FLAIR MR.
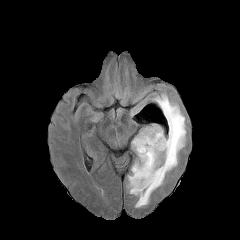
T1-weighted MR.
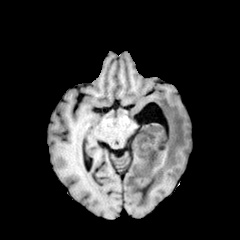
Post-contrast T1-weighted MR image.
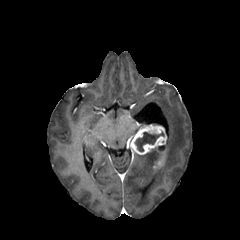
T2-weighted MR.
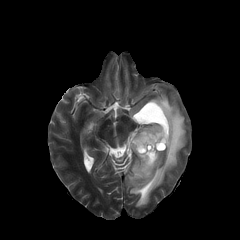
Brain; Axial slice
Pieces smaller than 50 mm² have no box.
peritumoral edema — 128, 94, 186, 207
necrotic tumor core — 135, 132, 164, 151
enhancing tumor — 130, 125, 166, 154; 153, 158, 163, 168